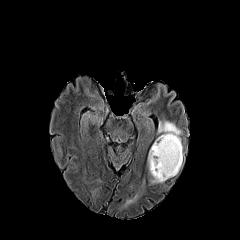
FLAIR MR.
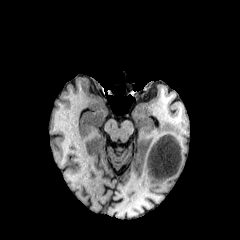
Same slice, T1-weighted magnetic resonance.
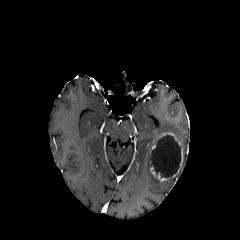
Post-contrast T1-weighted MRI.
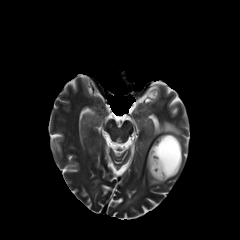
T2-weighted MR image.
Axial view, Brain
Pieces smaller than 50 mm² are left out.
<segmentation>
  <peritumoral_edema>box(158, 121, 181, 142); box(124, 195, 138, 206); box(147, 153, 163, 184)</peritumoral_edema>
  <necrotic_tumor_core>box(150, 135, 181, 177)</necrotic_tumor_core>
  <enhancing_tumor>box(158, 132, 180, 145); box(170, 148, 182, 177); box(150, 166, 169, 181)</enhancing_tumor>
</segmentation>